Axial plane. Head. Image width 240 mm, 1.00 mm slice spacing. Slice 119 of 155.
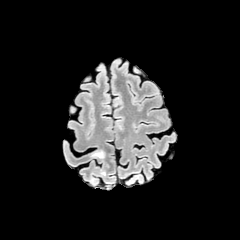
FLAIR MR image.
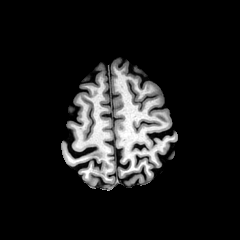
Same slice, T1-weighted magnetic resonance.
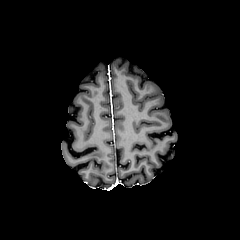
Same slice, post-contrast T1-weighted MRI.
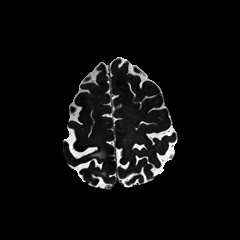
Same slice, T2-weighted magnetic resonance.
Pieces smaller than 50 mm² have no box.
peritumoral edema: 92 151 103 158